Brain, Image width 240 mm, 1.00 mm slice spacing, Slice 91/155
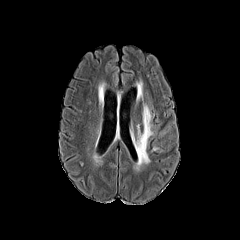
FLAIR MR.
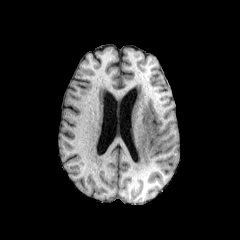
T1-weighted MR.
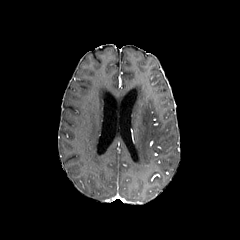
Post-contrast T1-weighted MRI.
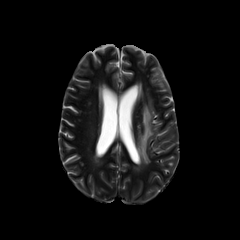
T2-weighted MR image of the same slice.
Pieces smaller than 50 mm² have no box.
<segmentation>
  <peritumoral_edema>left=137, top=104, right=153, bottom=164</peritumoral_edema>
</segmentation>